Axial slice; Image width 240 mm, 1.00 mm slice spacing; Head
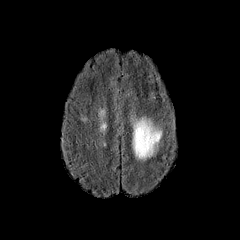
FLAIR magnetic resonance.
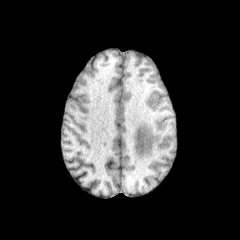
T1-weighted MR of the same slice.
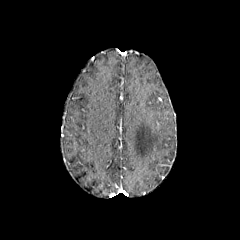
Same slice, post-contrast T1-weighted magnetic resonance.
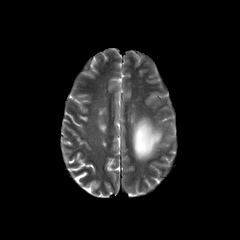
T2-weighted MRI of the same slice.
peritumoral edema at (x1=133, y1=118, x2=161, y2=159)